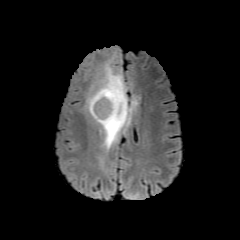
FLAIR MR image.
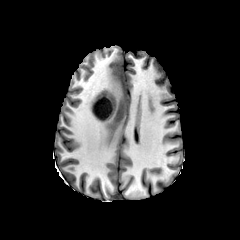
T1-weighted MRI.
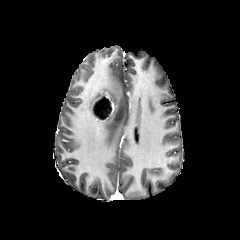
Post-contrast T1-weighted MR image.
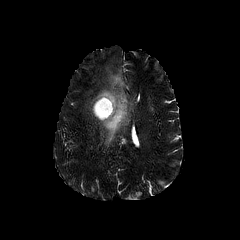
T2-weighted MR image.
240x240; Head
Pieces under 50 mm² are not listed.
peritumoral edema = bbox=[86, 64, 137, 150]
necrotic tumor core = bbox=[93, 97, 111, 120]
enhancing tumor = bbox=[93, 91, 114, 121]